Axial plane
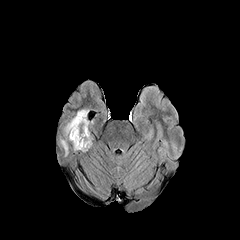
FLAIR magnetic resonance.
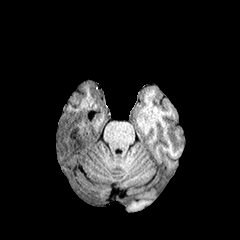
T1-weighted MR image.
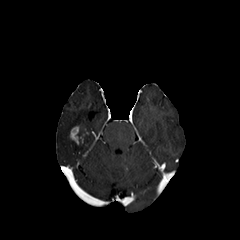
Post-contrast T1-weighted MR image of the same slice.
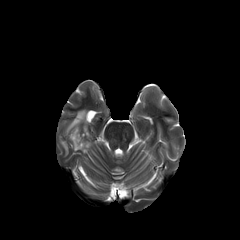
T2-weighted MR.
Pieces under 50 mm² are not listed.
{"peritumoral_edema": ["x1=60, y1=109, x2=91, y2=156"], "enhancing_tumor": ["x1=70, y1=126, x2=84, y2=144"]}